FLAIR magnetic resonance.
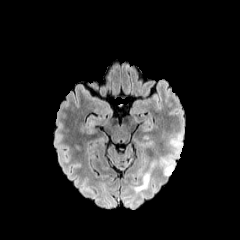
T1-weighted MR image.
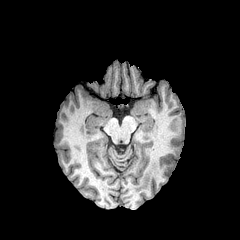
Post-contrast T1-weighted MRI.
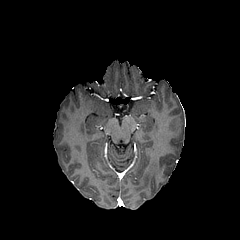
T2-weighted MRI.
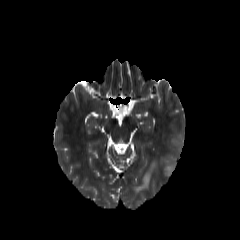
Brain | Axial view | 240x240 px
{
  "peritumoral_edema": [
    "161, 132, 182, 176",
    "132, 159, 157, 193"
  ]
}